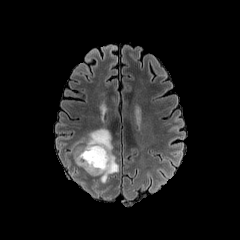
FLAIR MR.
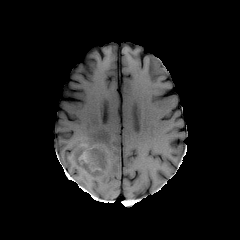
Same slice, T1-weighted magnetic resonance.
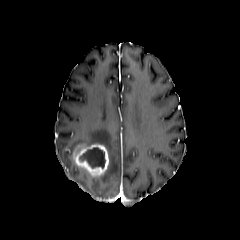
Post-contrast T1-weighted magnetic resonance.
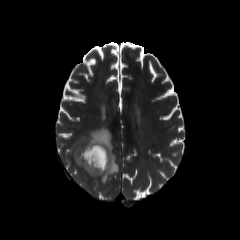
T2-weighted MR image of the same slice.
Axial slice
The necrotic tumor core is at 79 147 104 167. The peritumoral edema lies within 68 128 119 182. The enhancing tumor is bounded by 74 144 109 176.